FLAIR MRI.
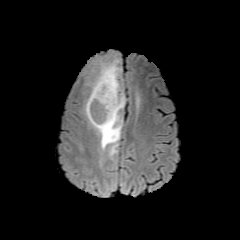
T1-weighted MR image.
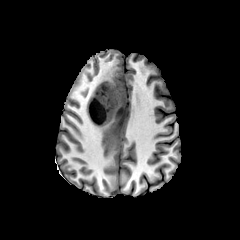
Post-contrast T1-weighted MR image.
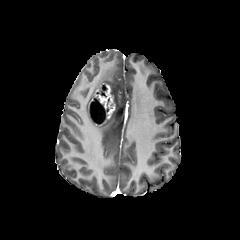
T2-weighted MR image.
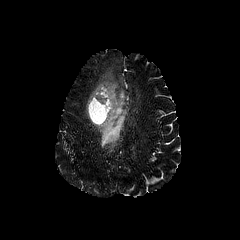
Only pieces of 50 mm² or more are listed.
peritumoral edema: box=[85, 60, 125, 155] | enhancing tumor: box=[88, 83, 115, 126] | necrotic tumor core: box=[90, 98, 106, 124]; box=[95, 85, 107, 97]